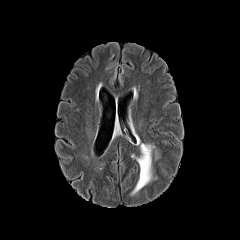
FLAIR MRI.
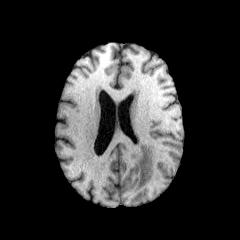
Same slice, T1-weighted MR image.
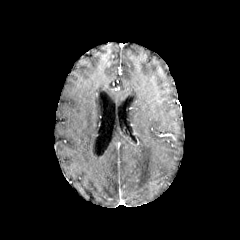
Post-contrast T1-weighted MRI of the same slice.
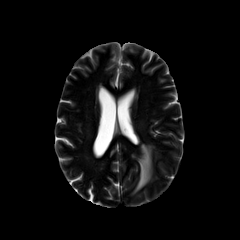
T2-weighted MR image.
Axial view
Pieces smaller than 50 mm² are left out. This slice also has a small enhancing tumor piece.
<segmentation>
  <peritumoral_edema><bbox>131, 143, 162, 194</bbox></peritumoral_edema>
</segmentation>